Axial view
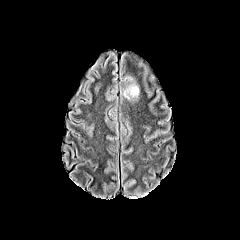
FLAIR MR image.
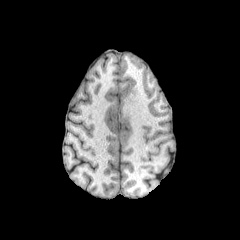
T1-weighted MR image.
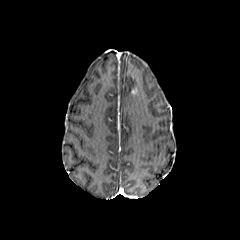
Post-contrast T1-weighted MR of the same slice.
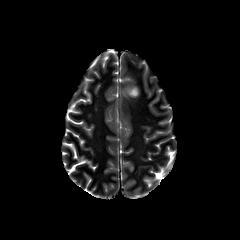
T2-weighted MR.
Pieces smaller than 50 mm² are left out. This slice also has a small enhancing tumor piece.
{
  "peritumoral_edema": [
    "[124,85,138,98]"
  ]
}